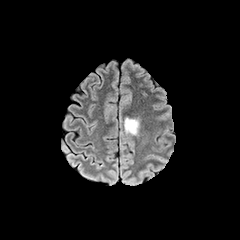
FLAIR MR.
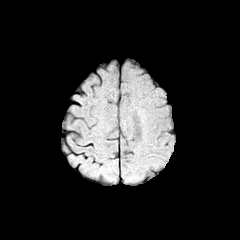
T1-weighted MR image.
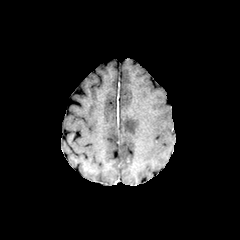
Post-contrast T1-weighted MRI of the same slice.
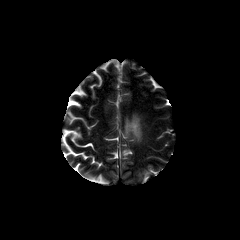
Same slice, T2-weighted magnetic resonance.
Image size 240x240.
peritumoral edema — box=[124, 118, 139, 134]